Head
FLAIR MRI.
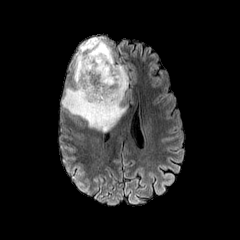
T1-weighted MRI.
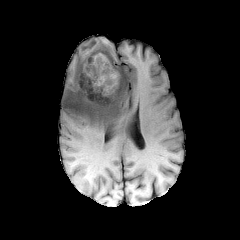
Post-contrast T1-weighted MR.
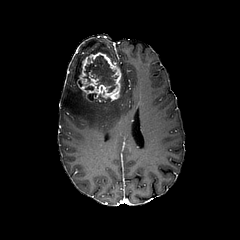
T2-weighted magnetic resonance.
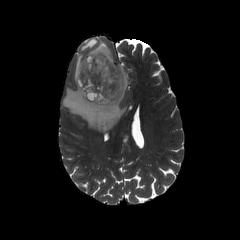
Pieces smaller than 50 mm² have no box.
Segmented structures:
• necrotic tumor core: <box>84,55,117,92</box>
• peritumoral edema: <box>61,37,128,131</box>
• enhancing tumor: <box>77,52,121,102</box>